FLAIR MR image.
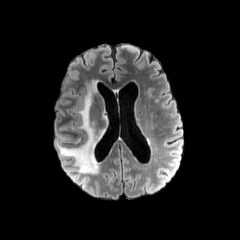
T1-weighted MR image.
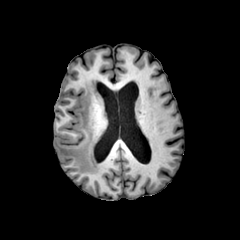
Post-contrast T1-weighted MRI.
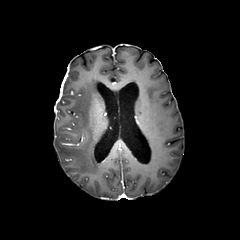
T2-weighted MR image.
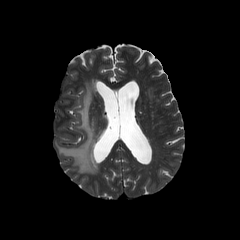
240x240 px; Head
Findings:
- peritumoral edema: bbox=[57, 81, 102, 173]